FLAIR MRI.
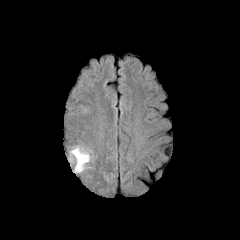
T1-weighted MRI.
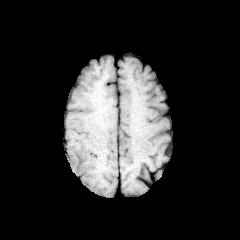
Post-contrast T1-weighted magnetic resonance.
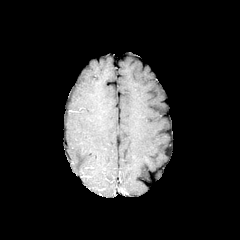
T2-weighted MRI.
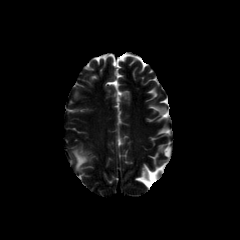
Axial view
<segmentation>
  <peritumoral_edema>(x1=70, y1=146, x2=90, y2=172)</peritumoral_edema>
</segmentation>